FLAIR MR image.
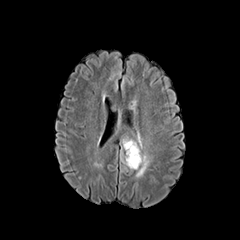
T1-weighted magnetic resonance.
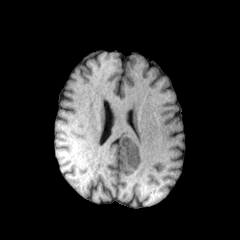
Post-contrast T1-weighted MR.
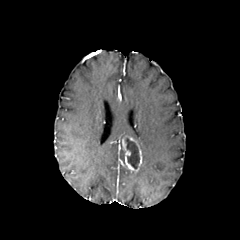
T2-weighted MRI.
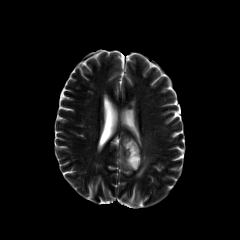
Axial view, Image size 240x240
enhancing tumor: (x1=122, y1=136, x2=142, y2=171) | peritumoral edema: (x1=120, y1=135, x2=125, y2=162), (x1=136, y1=153, x2=149, y2=177) | necrotic tumor core: (x1=126, y1=138, x2=139, y2=169)